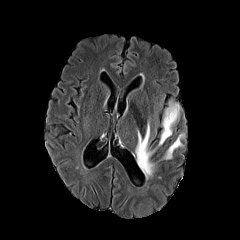
FLAIR MRI.
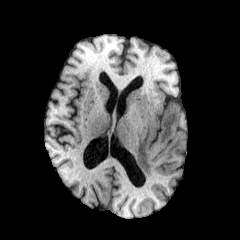
Same slice, T1-weighted magnetic resonance.
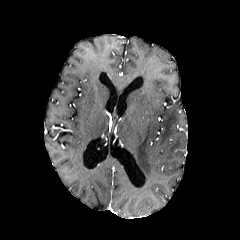
Post-contrast T1-weighted MR of the same slice.
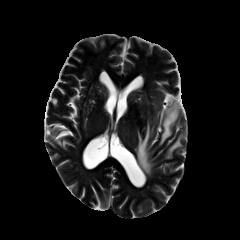
T2-weighted magnetic resonance of the same slice.
Head. Axial slice.
* peritumoral edema: bbox=[158, 103, 179, 145]; bbox=[164, 134, 184, 159]; bbox=[135, 122, 154, 178]